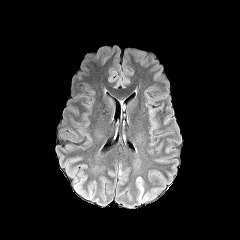
FLAIR MR.
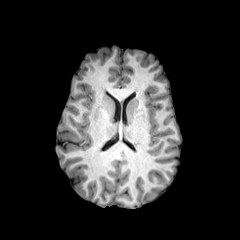
T1-weighted MRI of the same slice.
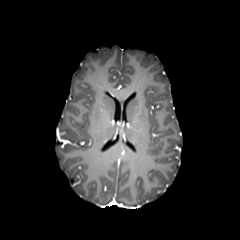
Post-contrast T1-weighted MR.
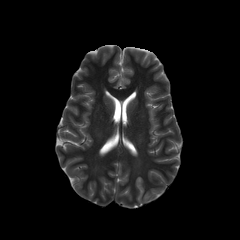
T2-weighted MR image.
Image size 240x240, Head
peritumoral edema at <box>135,175,144,203</box>